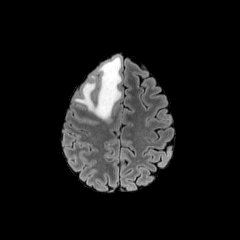
FLAIR MR image.
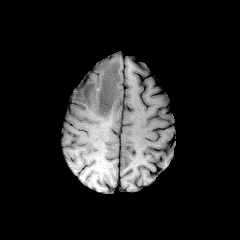
T1-weighted magnetic resonance.
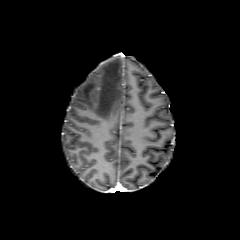
Post-contrast T1-weighted MRI of the same slice.
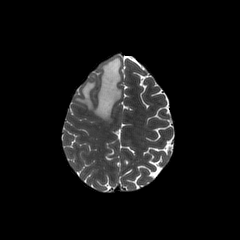
Same slice, T2-weighted MR image.
The peritumoral edema is bounded by left=74, top=56, right=121, bottom=121.